FLAIR magnetic resonance.
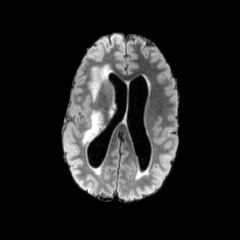
T1-weighted MRI.
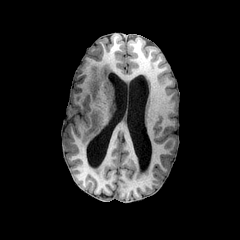
Post-contrast T1-weighted magnetic resonance.
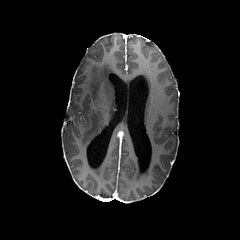
T2-weighted MRI.
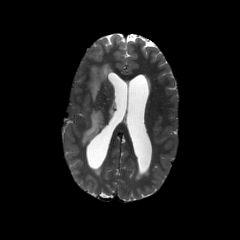
240x240.
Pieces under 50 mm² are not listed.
peritumoral edema: (89,64,111,101), (82,110,102,144)